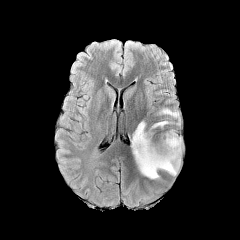
FLAIR MR image.
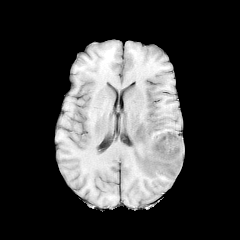
Same slice, T1-weighted magnetic resonance.
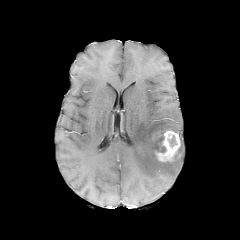
Post-contrast T1-weighted MR of the same slice.
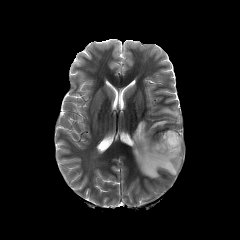
Same slice, T2-weighted MRI.
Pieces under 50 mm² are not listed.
necrotic tumor core: x1=167 y1=135 x2=177 y2=148 | enhancing tumor: x1=155 y1=130 x2=180 y2=161 | peritumoral edema: x1=159 y1=108 x2=180 y2=124, x1=131 y1=120 x2=182 y2=178